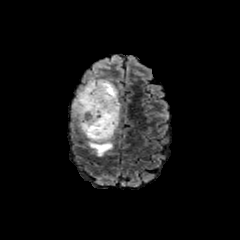
FLAIR magnetic resonance.
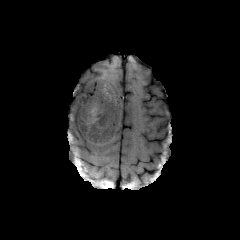
T1-weighted MR image.
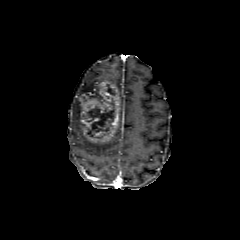
Post-contrast T1-weighted MRI of the same slice.
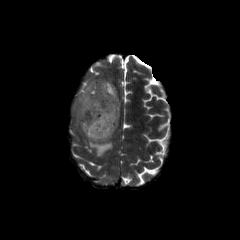
T2-weighted MR image of the same slice.
Head; Axial view
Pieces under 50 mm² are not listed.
The 2 largest peritumoral edema regions are located at box=[87, 134, 115, 156]; box=[72, 78, 107, 127]. The largest enhancing tumor region is at box=[78, 81, 120, 142]. The 3 largest necrotic tumor core regions are located at box=[87, 99, 114, 136]; box=[89, 89, 102, 103]; box=[106, 84, 115, 95].